FLAIR MRI.
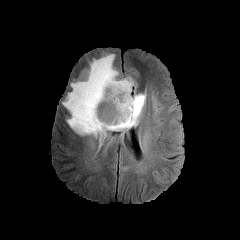
T1-weighted MR image.
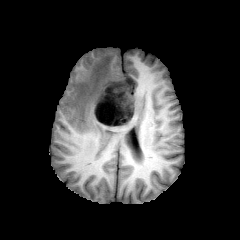
Post-contrast T1-weighted MR.
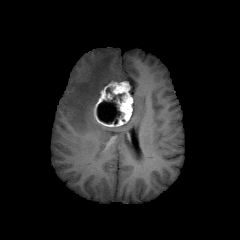
T2-weighted MRI.
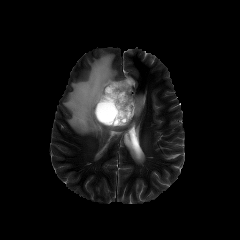
Axial view
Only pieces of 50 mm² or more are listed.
enhancing tumor: <bbox>93, 81, 133, 127</bbox>
peritumoral edema: <bbox>62, 53, 145, 145</bbox>
necrotic tumor core: <bbox>97, 94, 123, 124</bbox>